Slice 39 of 155.
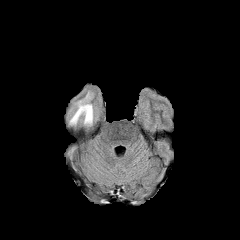
FLAIR magnetic resonance.
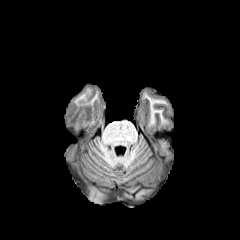
T1-weighted MRI.
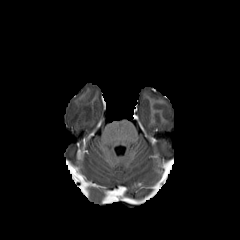
Post-contrast T1-weighted MR image.
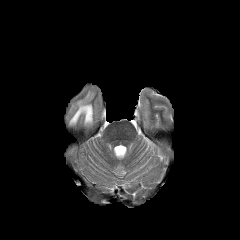
T2-weighted MR image.
Findings:
* peritumoral edema: bbox=[69, 92, 92, 124]